Axial view. Brain.
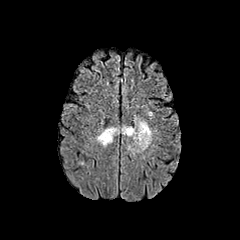
FLAIR magnetic resonance.
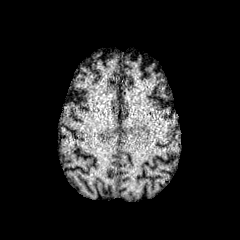
T1-weighted magnetic resonance.
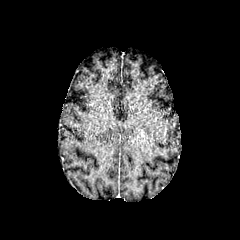
Post-contrast T1-weighted MR image.
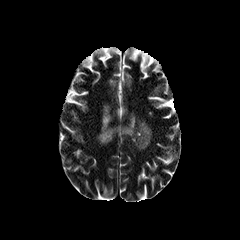
Same slice, T2-weighted MR image.
2 peritumoral edema regions appear at 97 127 119 145, 121 118 152 151. The enhancing tumor appears at 137 130 145 141.